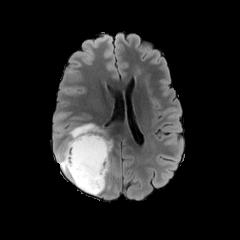
FLAIR MR.
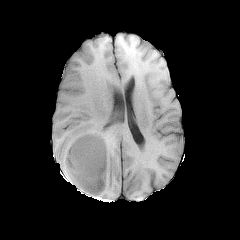
Same slice, T1-weighted MR.
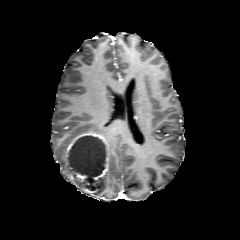
Post-contrast T1-weighted MRI.
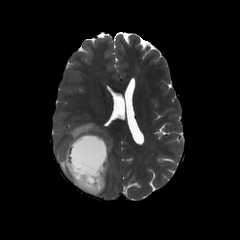
T2-weighted magnetic resonance.
Head
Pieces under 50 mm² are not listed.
The 3 largest peritumoral edema regions are located at (97, 176, 105, 194), (55, 123, 101, 180), (105, 140, 111, 172). 2 enhancing tumor regions are bounded by (62, 133, 106, 194), (92, 156, 107, 186). The necrotic tumor core is located at (68, 136, 105, 195).